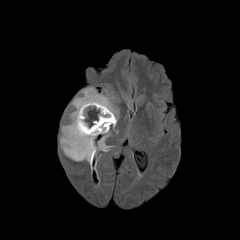
FLAIR magnetic resonance.
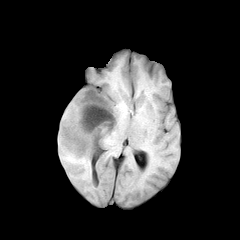
T1-weighted MRI.
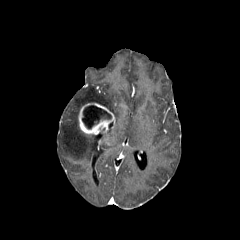
Post-contrast T1-weighted MR image.
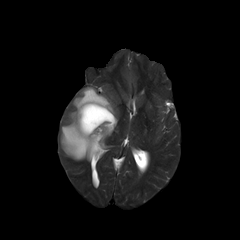
Same slice, T2-weighted MR.
240x240 px; Brain
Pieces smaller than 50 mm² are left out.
peritumoral edema = rect(99, 128, 111, 149); rect(60, 87, 117, 161)
necrotic tumor core = rect(82, 105, 111, 128)
enhancing tumor = rect(78, 103, 115, 134)